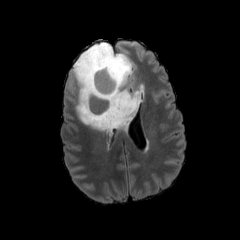
FLAIR MRI.
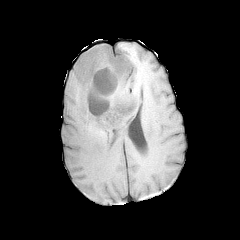
T1-weighted MR.
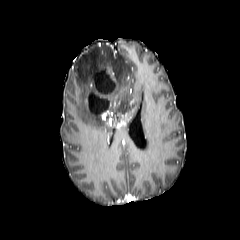
Post-contrast T1-weighted MR image of the same slice.
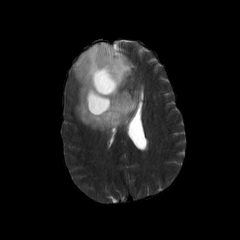
T2-weighted MR image.
Axial plane. 240x240 px.
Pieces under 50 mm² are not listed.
2 necrotic tumor core regions are located at [x1=93, y1=69, x2=115, y2=93], [x1=88, y1=93, x2=108, y2=114]. The 2 largest enhancing tumor regions are located at [x1=100, y1=109, x2=132, y2=128], [x1=90, y1=63, x2=118, y2=97]. The largest peritumoral edema region is at [x1=72, y1=42, x2=140, y2=133].